FLAIR MR.
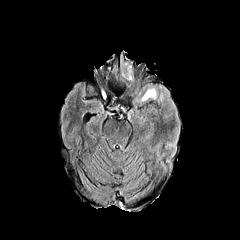
T1-weighted MRI.
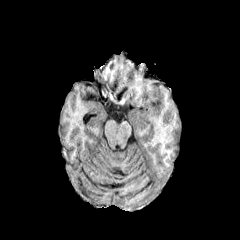
Post-contrast T1-weighted MRI.
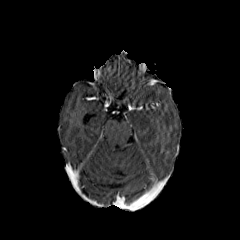
T2-weighted MR image.
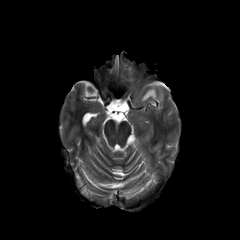
Axial slice, Head, Image size 240x240
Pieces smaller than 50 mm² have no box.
<segmentation>
  <peritumoral_edema>box=[139, 88, 157, 103]</peritumoral_edema>
</segmentation>